Head. Axial plane. Slice 120 of 155.
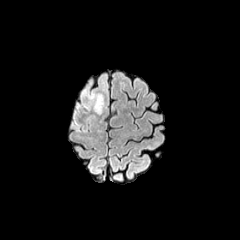
FLAIR magnetic resonance.
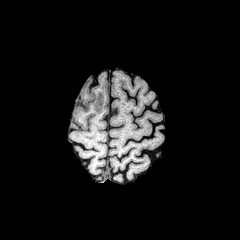
T1-weighted MRI.
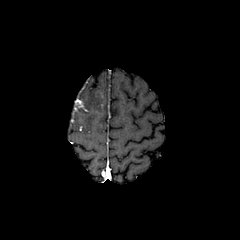
Post-contrast T1-weighted magnetic resonance of the same slice.
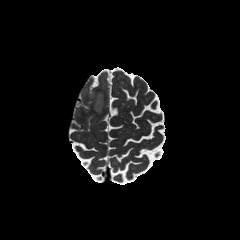
T2-weighted MR of the same slice.
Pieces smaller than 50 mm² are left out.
{
  "enhancing_tumor": [
    "73 99 83 116"
  ],
  "peritumoral_edema": [
    "94 78 107 113"
  ]
}